FLAIR MR.
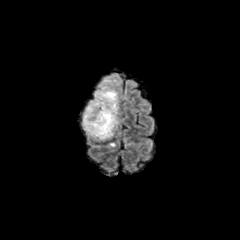
T1-weighted magnetic resonance.
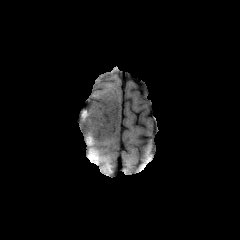
Post-contrast T1-weighted magnetic resonance.
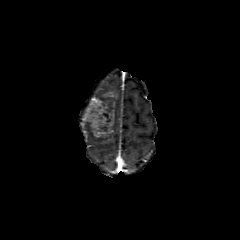
T2-weighted MR image.
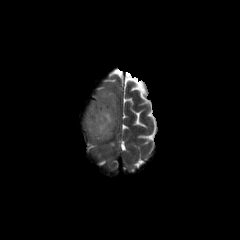
Axial view
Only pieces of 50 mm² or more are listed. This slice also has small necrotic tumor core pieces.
The 3 largest peritumoral edema regions are located at x1=83 y1=124 x2=113 y2=140, x1=115 y1=94 x2=118 y2=126, x1=91 y1=87 x2=116 y2=97. The enhancing tumor lies within x1=81 y1=91 x2=116 y2=137.